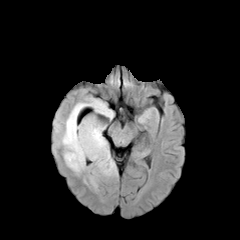
FLAIR MRI.
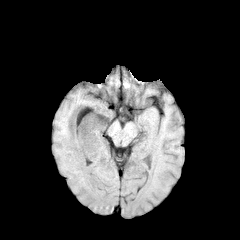
T1-weighted MR.
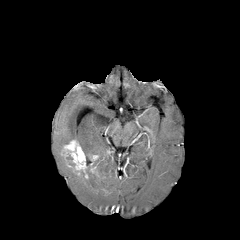
Post-contrast T1-weighted MR.
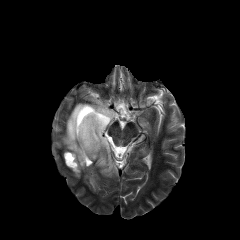
T2-weighted MR of the same slice.
Head | Axial view
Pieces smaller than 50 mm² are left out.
The largest peritumoral edema region appears at bbox(56, 97, 117, 190). The necrotic tumor core is at bbox(66, 154, 74, 166). The largest enhancing tumor region is bounded by bbox(63, 140, 88, 178).